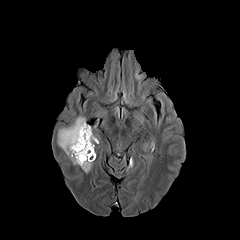
FLAIR MR image.
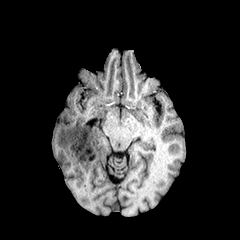
Same slice, T1-weighted MR image.
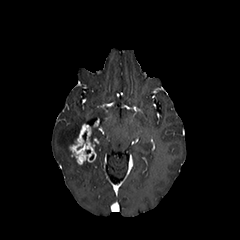
Post-contrast T1-weighted MRI.
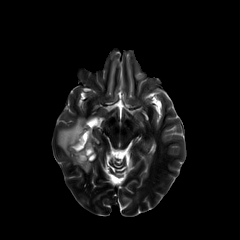
T2-weighted MR.
Axial view
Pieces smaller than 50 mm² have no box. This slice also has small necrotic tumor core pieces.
{"peritumoral_edema": ["(57,116,85,164)", "(79,161,92,172)", "(136,69,144,78)"], "enhancing_tumor": ["(69,123,98,164)"]}